Axial plane, Slice 132 of 155, Head
FLAIR magnetic resonance.
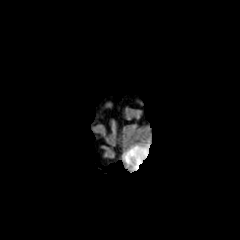
T1-weighted MR.
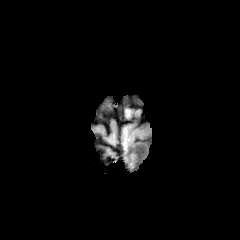
Post-contrast T1-weighted magnetic resonance.
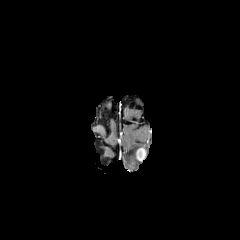
T2-weighted MR.
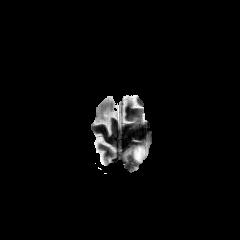
enhancing tumor — [x1=136, y1=146, x2=147, y2=161]
peritumoral edema — [x1=123, y1=143, x2=149, y2=170]